FLAIR MR image.
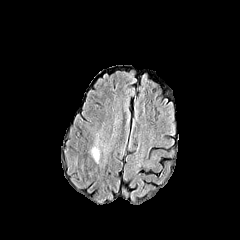
T1-weighted magnetic resonance.
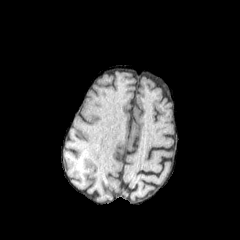
Post-contrast T1-weighted MR.
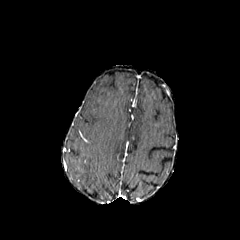
T2-weighted MR.
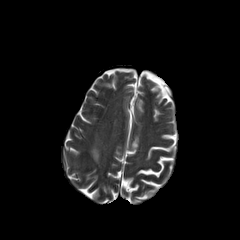
240x240. Axial view.
The peritumoral edema is located at (x1=91, y1=147, x2=99, y2=161).